FLAIR MRI.
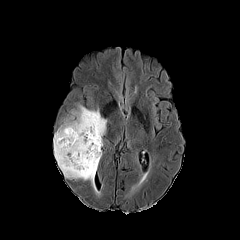
T1-weighted MR.
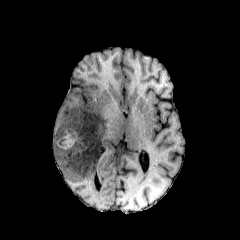
Post-contrast T1-weighted MRI.
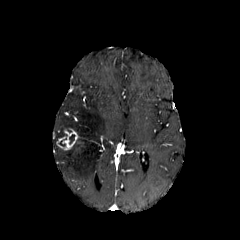
T2-weighted magnetic resonance.
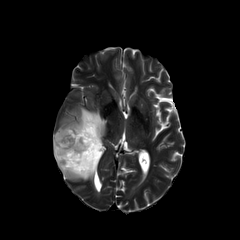
Axial plane. Brain.
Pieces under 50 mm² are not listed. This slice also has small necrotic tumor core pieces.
peritumoral edema: {"x1": 53, "y1": 106, "x2": 106, "y2": 188}
enhancing tumor: {"x1": 56, "y1": 128, "x2": 79, "y2": 150}